Image size 240x240. Head.
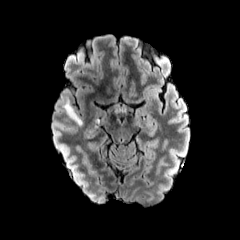
FLAIR MR.
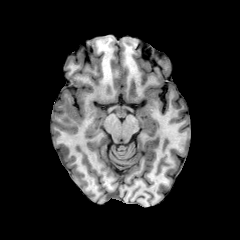
T1-weighted MR image.
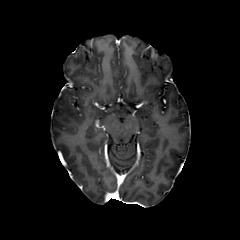
Post-contrast T1-weighted MR image.
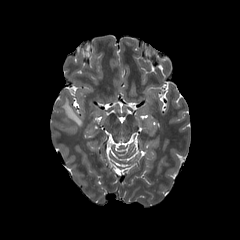
T2-weighted magnetic resonance.
Annotated regions:
- peritumoral edema: l=63, t=100, r=82, b=125